FLAIR MR image.
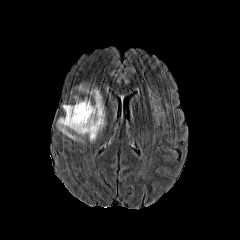
T1-weighted MR.
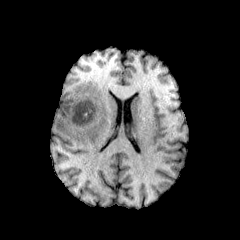
Post-contrast T1-weighted MR.
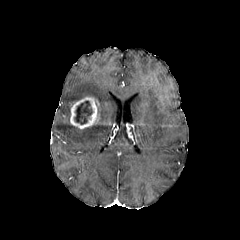
T2-weighted MR.
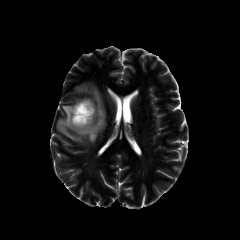
Head. 240x240. Axial slice.
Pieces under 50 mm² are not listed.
The 2 largest peritumoral edema regions are located at bbox(57, 88, 104, 142); bbox(76, 84, 88, 92). The necrotic tumor core is located at bbox(74, 101, 92, 124). The enhancing tumor is bounded by bbox(70, 96, 99, 129).